FLAIR MRI.
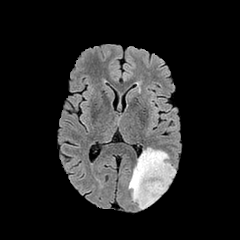
T1-weighted MR.
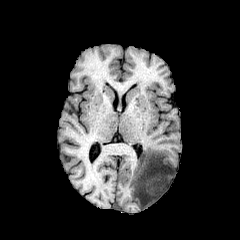
Post-contrast T1-weighted MR.
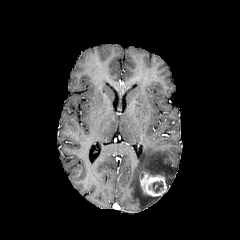
T2-weighted MR image.
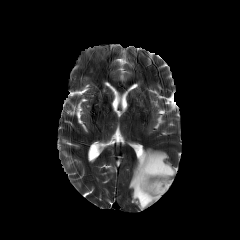
Axial view.
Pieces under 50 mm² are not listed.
The largest enhancing tumor region is located at left=139, top=171, right=167, bottom=196. The largest necrotic tumor core region is located at left=152, top=181, right=163, bottom=192. The peritumoral edema lies within left=128, top=148, right=175, bottom=209.